FLAIR MR.
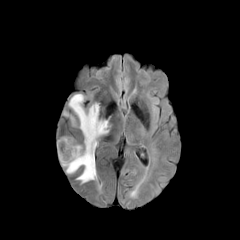
T1-weighted MR image.
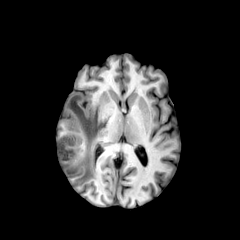
Post-contrast T1-weighted MRI.
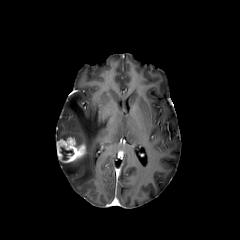
T2-weighted MR image.
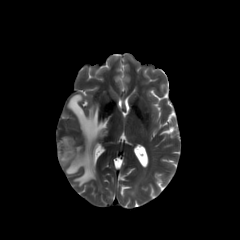
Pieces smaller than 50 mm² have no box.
{"enhancing_tumor": ["(x1=56, y1=137, x2=85, y2=162)"], "necrotic_tumor_core": ["(x1=60, y1=147, x2=73, y2=160)"], "peritumoral_edema": ["(x1=61, y1=94, x2=109, y2=183)"]}